FLAIR magnetic resonance.
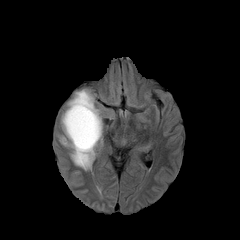
T1-weighted MR.
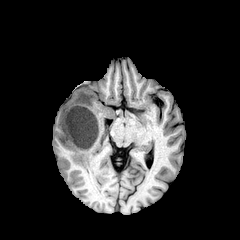
Post-contrast T1-weighted magnetic resonance.
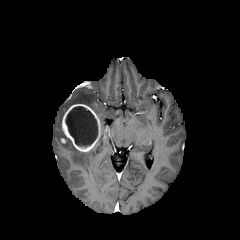
T2-weighted MRI.
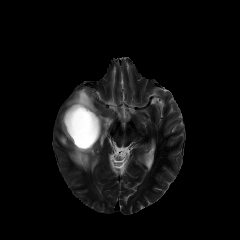
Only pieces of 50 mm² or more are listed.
necrotic tumor core: bounding box 66 106 97 146
peritumoral edema: bounding box 61 89 102 170
enhancing tumor: bounding box 62 104 101 152